Head | Image size 240x240 | Slice 100 of 155
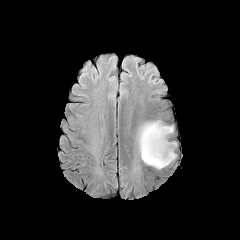
FLAIR magnetic resonance.
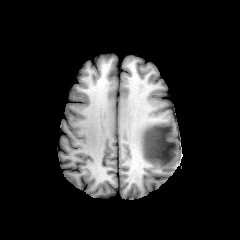
Same slice, T1-weighted MR image.
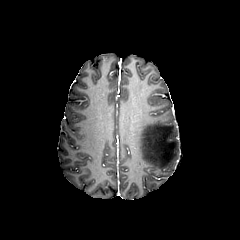
Post-contrast T1-weighted magnetic resonance.
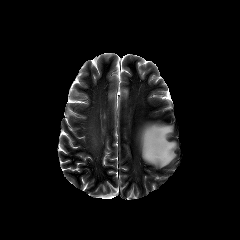
T2-weighted magnetic resonance.
The peritumoral edema is bounded by <box>138,121,176,168</box>.